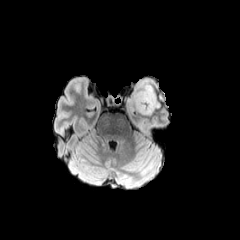
FLAIR MR.
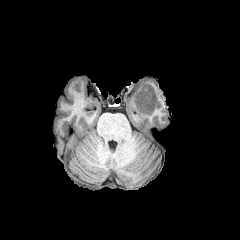
Same slice, T1-weighted MRI.
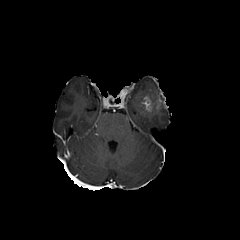
Same slice, post-contrast T1-weighted MR.
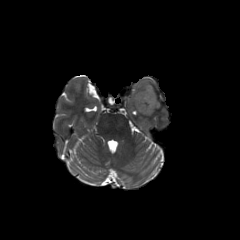
T2-weighted magnetic resonance of the same slice.
240x240 px | Brain
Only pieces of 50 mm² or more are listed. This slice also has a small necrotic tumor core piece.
peritumoral_edema:
  - box=[127, 77, 156, 115]
enhancing_tumor:
  - box=[138, 92, 160, 112]